FLAIR magnetic resonance.
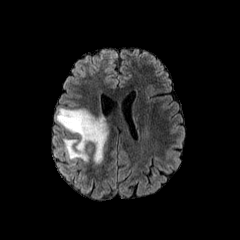
T1-weighted MR image.
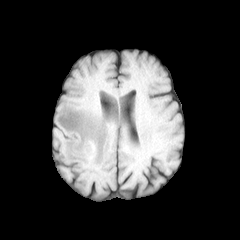
Post-contrast T1-weighted MR.
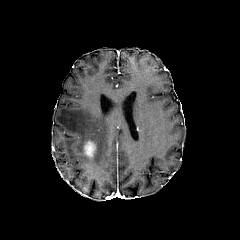
T2-weighted magnetic resonance.
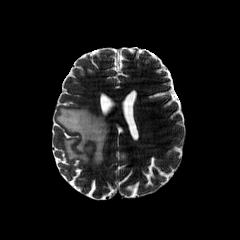
Image size 240x240 | Axial view
Annotated regions:
• enhancing tumor: {"x1": 83, "y1": 140, "x2": 95, "y2": 156}
• peritumoral edema: {"x1": 56, "y1": 108, "x2": 108, "y2": 164}